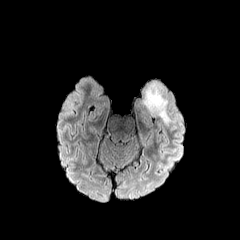
FLAIR magnetic resonance.
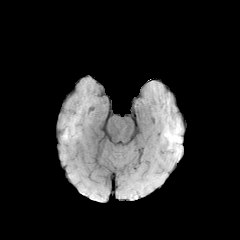
T1-weighted MR image of the same slice.
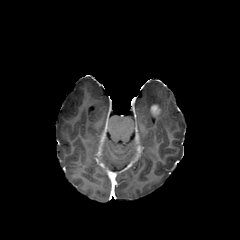
Post-contrast T1-weighted magnetic resonance.
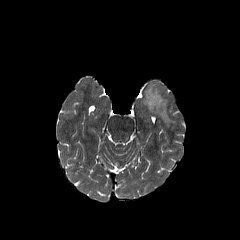
T2-weighted MR.
Axial slice. Brain.
Findings:
- peritumoral edema: 143, 84, 171, 125
- enhancing tumor: 150, 104, 161, 115